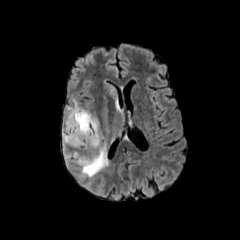
FLAIR MRI.
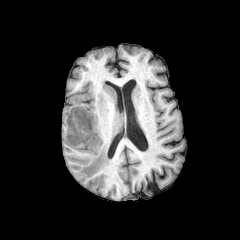
T1-weighted MR.
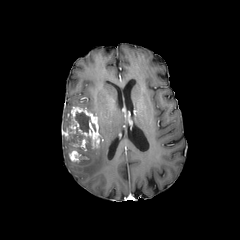
Post-contrast T1-weighted magnetic resonance.
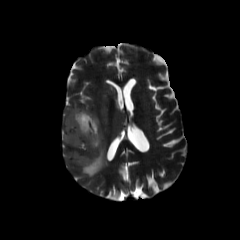
T2-weighted magnetic resonance.
Head; Axial slice
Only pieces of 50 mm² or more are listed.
peritumoral_edema:
  - bbox=[62, 138, 69, 161]
  - bbox=[64, 106, 72, 124]
  - bbox=[76, 78, 124, 176]
necrotic_tumor_core:
  - bbox=[71, 128, 90, 145]
  - bbox=[75, 112, 90, 133]
enhancing_tumor:
  - bbox=[62, 106, 102, 162]